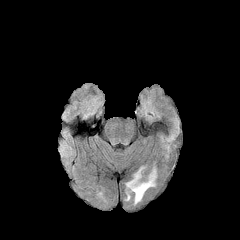
FLAIR magnetic resonance.
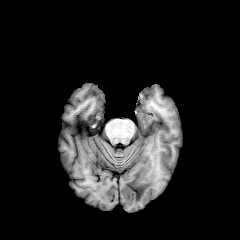
T1-weighted MR image of the same slice.
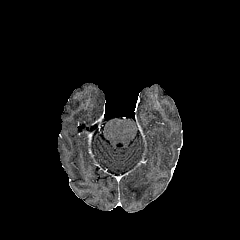
Post-contrast T1-weighted MR image.
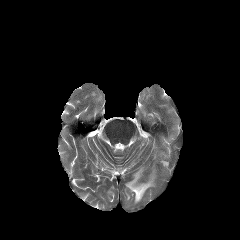
Same slice, T2-weighted magnetic resonance.
Brain, Axial slice
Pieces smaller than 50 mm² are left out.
peritumoral edema: box=[126, 169, 155, 203]